Image width 240 mm, Head, Slice 50 of 155
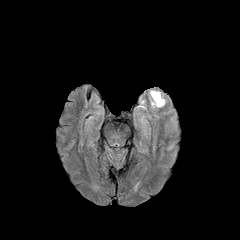
FLAIR magnetic resonance.
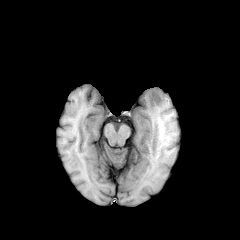
T1-weighted MR.
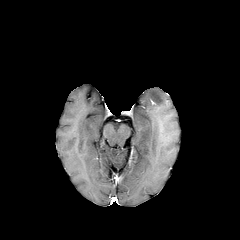
Post-contrast T1-weighted MR.
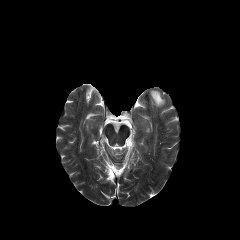
T2-weighted MR.
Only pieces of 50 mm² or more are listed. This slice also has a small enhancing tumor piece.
peritumoral edema at rect(150, 90, 165, 107)